Head.
FLAIR magnetic resonance.
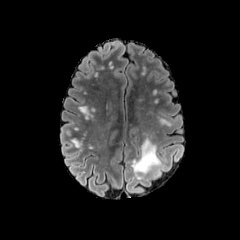
T1-weighted MRI.
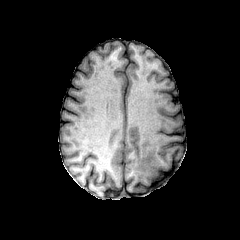
Post-contrast T1-weighted magnetic resonance.
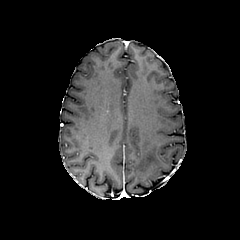
T2-weighted magnetic resonance.
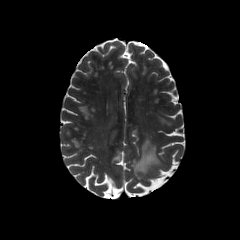
The peritumoral edema is at bbox=[131, 137, 164, 179].